Head; Slice 56 of 155; Image size 240x240; Image width 240 mm
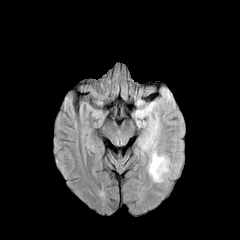
FLAIR MR image.
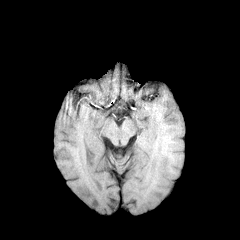
T1-weighted MR image.
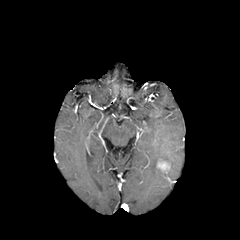
Post-contrast T1-weighted MR.
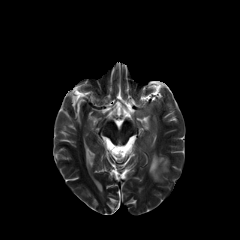
Same slice, T2-weighted MR image.
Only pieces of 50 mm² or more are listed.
{"peritumoral_edema": ["149, 150, 169, 181", "134, 102, 154, 118", "136, 110, 162, 150"], "enhancing_tumor": ["157, 162, 168, 170"]}